FLAIR MRI.
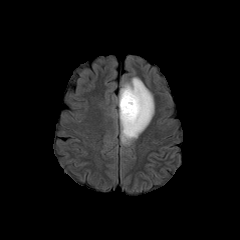
T1-weighted magnetic resonance.
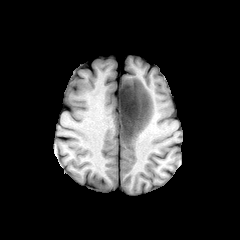
Post-contrast T1-weighted MR image.
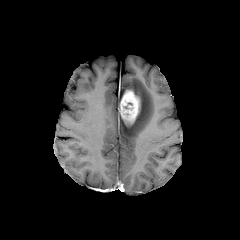
T2-weighted MR image.
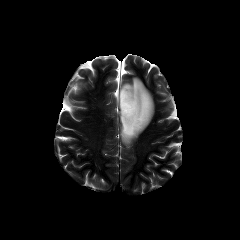
Axial plane. Head.
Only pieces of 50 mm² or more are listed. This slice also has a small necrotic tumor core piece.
{"enhancing_tumor": ["[120, 89, 140, 125]"], "peritumoral_edema": ["[118, 77, 154, 146]"]}